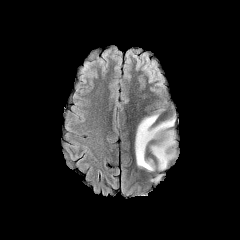
FLAIR MRI.
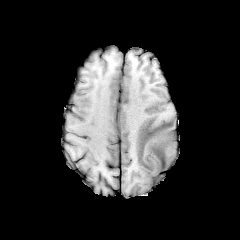
T1-weighted MRI.
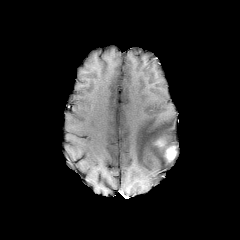
Post-contrast T1-weighted MRI of the same slice.
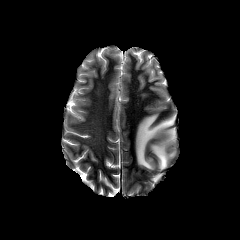
Same slice, T2-weighted MRI.
Head.
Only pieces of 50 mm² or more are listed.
• peritumoral edema: (left=135, top=108, right=175, bottom=171)
• enhancing tumor: (left=156, top=139, right=165, bottom=147), (left=164, top=145, right=176, bottom=161)